FLAIR MR.
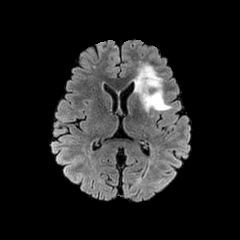
T1-weighted MR.
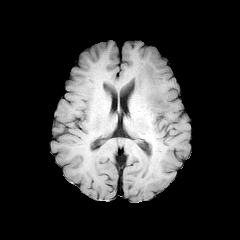
Post-contrast T1-weighted MR image.
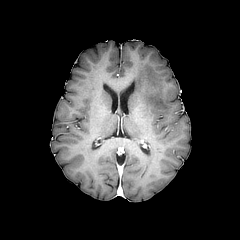
T2-weighted MRI.
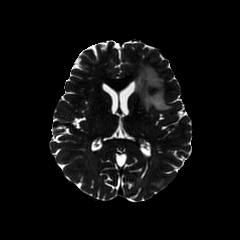
Head | 240x240 px
peritumoral_edema:
  - (134, 64, 171, 110)